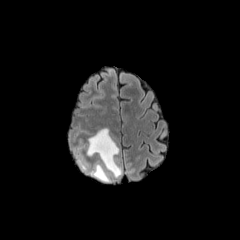
FLAIR magnetic resonance.
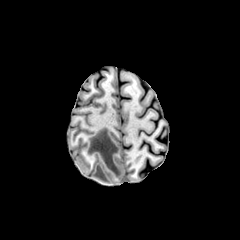
T1-weighted MR of the same slice.
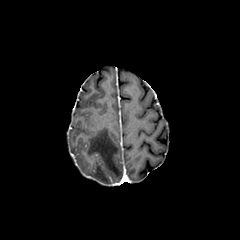
Post-contrast T1-weighted MR image.
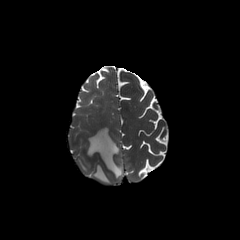
T2-weighted MR image.
Head | Axial view
3 peritumoral edema regions appear at <bbox>91, 163, 111, 182</bbox>, <bbox>87, 128, 122, 177</bbox>, <bbox>77, 157, 86, 171</bbox>.